FLAIR magnetic resonance.
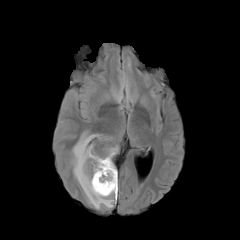
T1-weighted MR.
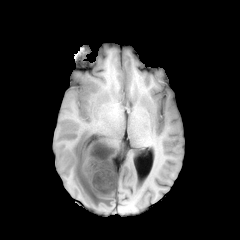
Post-contrast T1-weighted MR image.
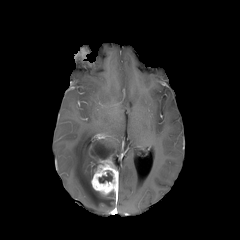
T2-weighted magnetic resonance.
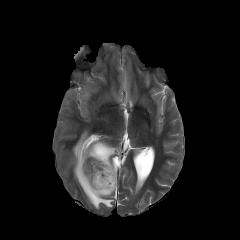
Head, 240x240
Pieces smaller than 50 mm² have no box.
The 2 largest peritumoral edema regions are located at [71, 131, 116, 209], [109, 145, 118, 155]. 2 necrotic tumor core regions appear at [99, 172, 112, 182], [92, 142, 111, 159]. The largest enhancing tumor region is bounded by [90, 134, 118, 195].